Head
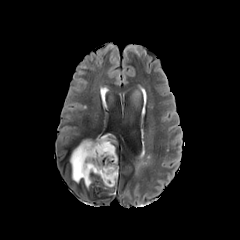
FLAIR MRI.
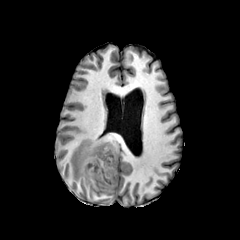
T1-weighted magnetic resonance.
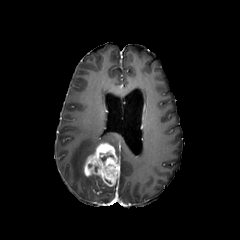
Same slice, post-contrast T1-weighted MR.
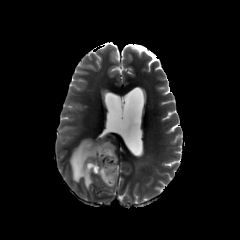
T2-weighted magnetic resonance.
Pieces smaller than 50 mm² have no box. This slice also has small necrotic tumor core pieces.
{"enhancing_tumor": ["bbox(84, 142, 119, 186)"], "peritumoral_edema": ["bbox(70, 134, 115, 188)"]}